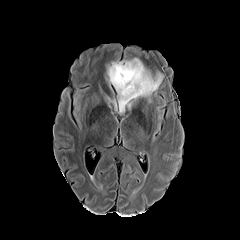
FLAIR MR.
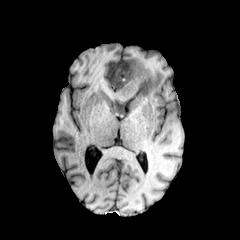
T1-weighted magnetic resonance.
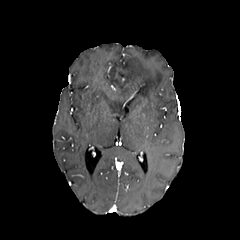
Post-contrast T1-weighted MR image.
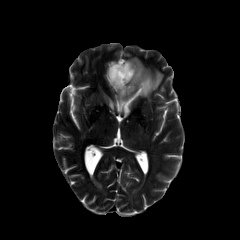
T2-weighted magnetic resonance.
Head, Axial plane
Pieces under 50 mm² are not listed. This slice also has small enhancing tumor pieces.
peritumoral edema: {"x1": 106, "y1": 57, "x2": 164, "y2": 115}
necrotic tumor core: {"x1": 111, "y1": 64, "x2": 124, "y2": 79}